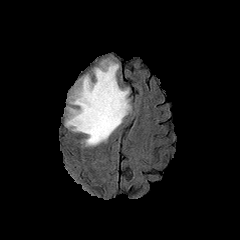
FLAIR MRI.
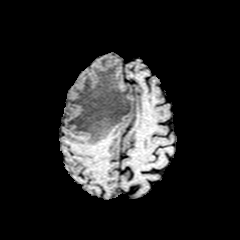
Same slice, T1-weighted MR image.
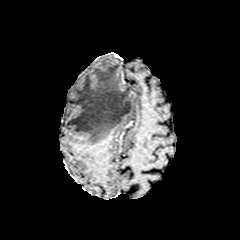
Post-contrast T1-weighted magnetic resonance.
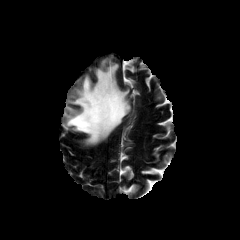
T2-weighted MR image.
Brain
peritumoral edema: (left=65, top=59, right=131, bottom=146)